Axial view, Slice 73/155
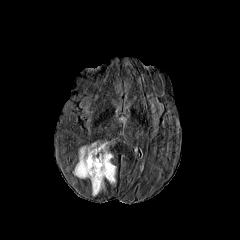
FLAIR MRI.
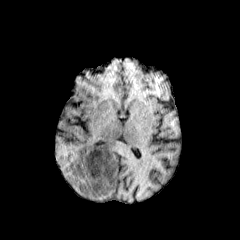
Same slice, T1-weighted MR image.
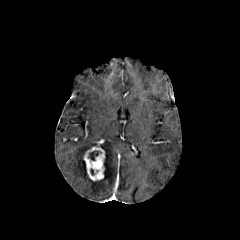
Post-contrast T1-weighted MR.
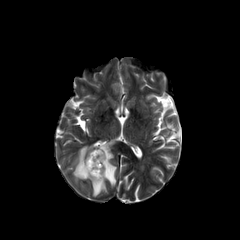
T2-weighted MR.
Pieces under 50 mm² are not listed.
{"peritumoral_edema": [{"x1": 98, "y1": 142, "x2": 116, "y2": 184}, {"x1": 73, "y1": 143, "x2": 96, "y2": 178}, {"x1": 91, "y1": 179, "x2": 105, "y2": 195}], "enhancing_tumor": [{"x1": 83, "y1": 146, "x2": 105, "y2": 181}], "necrotic_tumor_core": [{"x1": 89, "y1": 151, "x2": 98, "y2": 160}]}